Slice 69/155
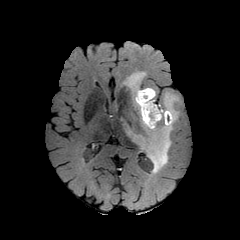
FLAIR magnetic resonance.
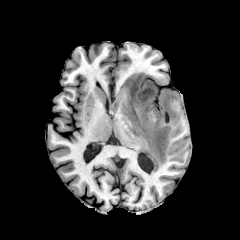
T1-weighted MR image.
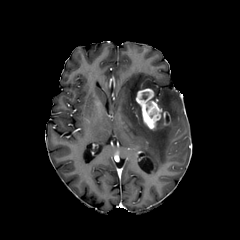
Same slice, post-contrast T1-weighted MRI.
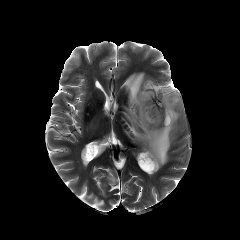
Same slice, T2-weighted MR.
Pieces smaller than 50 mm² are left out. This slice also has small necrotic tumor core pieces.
Annotated regions:
- enhancing tumor: x1=136, y1=88, x2=162, y2=129
- peritumoral edema: x1=144, y1=82, x2=156, y2=97; x1=122, y1=72, x2=179, y2=173